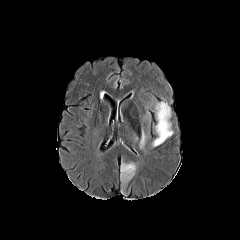
FLAIR MR.
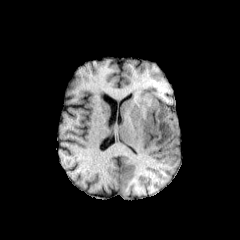
T1-weighted MR of the same slice.
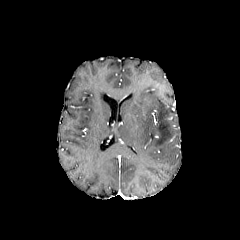
Post-contrast T1-weighted MR image.
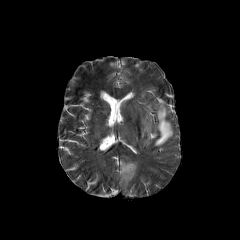
T2-weighted MRI.
Head, Image size 240x240, Axial plane
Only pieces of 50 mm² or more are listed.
peritumoral edema — 139 129 146 148, 121 162 136 182, 151 102 173 146